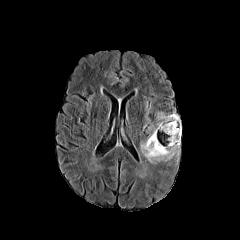
FLAIR MRI.
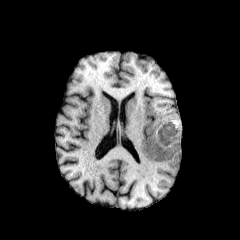
T1-weighted magnetic resonance.
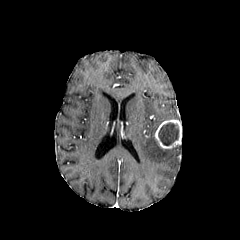
Post-contrast T1-weighted MRI of the same slice.
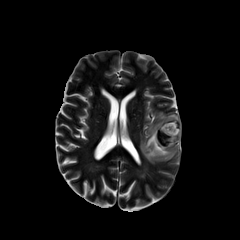
Same slice, T2-weighted MR.
Axial plane; 240x240
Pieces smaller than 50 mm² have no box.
The largest peritumoral edema region appears at (x1=140, y1=112, x2=180, y2=162). The enhancing tumor is at (x1=154, y1=119, x2=181, y2=148). The necrotic tumor core appears at (x1=158, y1=123, x2=178, y2=145).